Head. Axial view.
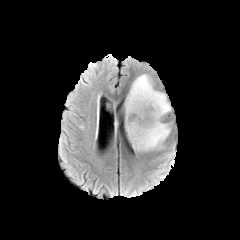
FLAIR MR.
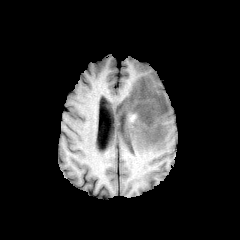
T1-weighted MR image.
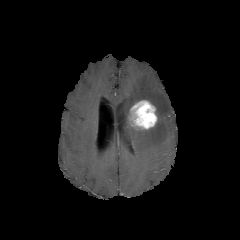
Post-contrast T1-weighted magnetic resonance.
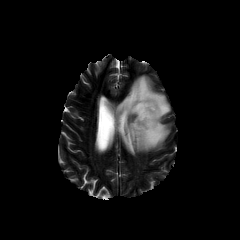
T2-weighted MRI.
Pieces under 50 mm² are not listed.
peritumoral edema — (left=124, top=74, right=171, bottom=151)
enhancing tumor — (left=129, top=100, right=157, bottom=130)